Axial slice
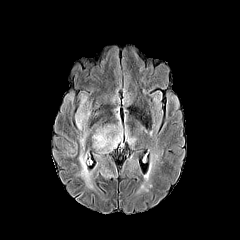
FLAIR magnetic resonance.
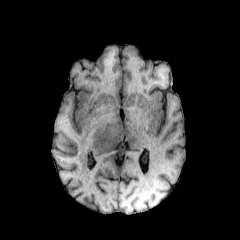
T1-weighted MR image of the same slice.
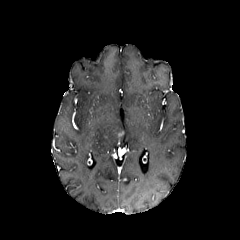
Post-contrast T1-weighted MR.
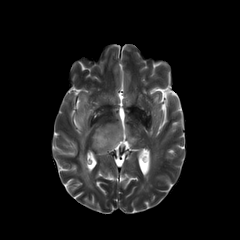
Same slice, T2-weighted MRI.
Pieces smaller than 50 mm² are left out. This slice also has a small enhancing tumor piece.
{"peritumoral_edema": ["(x1=92, y1=114, x2=122, y2=154)", "(x1=76, y1=112, x2=89, y2=129)", "(x1=124, y1=127, x2=135, y2=144)", "(x1=79, y1=133, x2=92, y2=188)"]}